Axial slice | Slice index 88
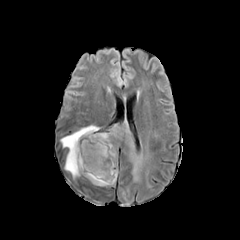
FLAIR MR.
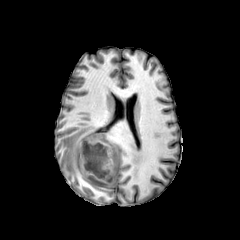
T1-weighted MR image of the same slice.
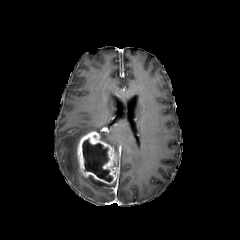
Post-contrast T1-weighted magnetic resonance.
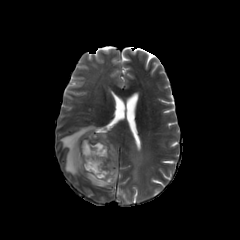
T2-weighted magnetic resonance.
The necrotic tumor core is bounded by 82:139:112:181. The enhancing tumor is located at 77:131:119:184. 3 peritumoral edema regions are located at 60:125:100:177, 99:127:142:182, 88:176:113:186.